Head. Axial plane.
FLAIR magnetic resonance.
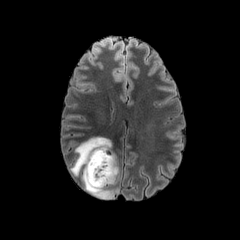
T1-weighted MR.
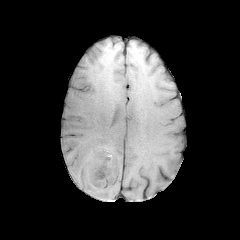
Post-contrast T1-weighted magnetic resonance.
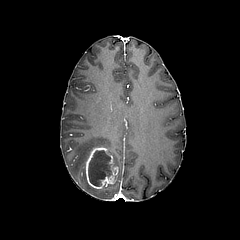
T2-weighted MRI.
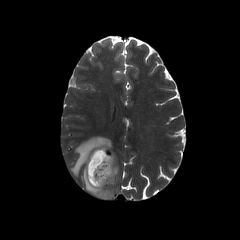
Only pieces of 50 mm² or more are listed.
The enhancing tumor is at 85, 147, 118, 189. The necrotic tumor core is located at 88, 150, 111, 186. The largest peritumoral edema region is at 70, 137, 118, 199.